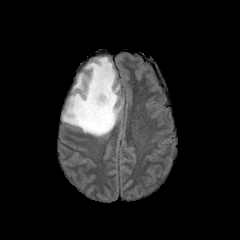
FLAIR MR.
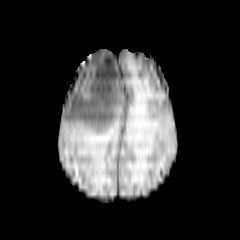
T1-weighted MR.
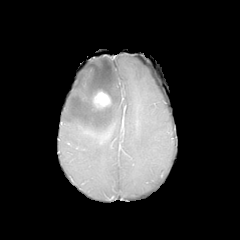
Post-contrast T1-weighted MR image.
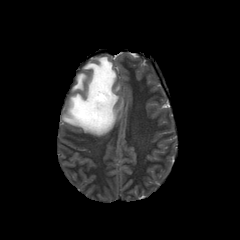
T2-weighted MR image.
Axial slice; 240x240 px
The peritumoral edema is located at [62,57,123,136]. The enhancing tumor lies within [92,90,111,108].